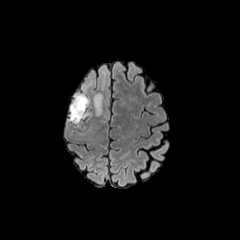
FLAIR MR.
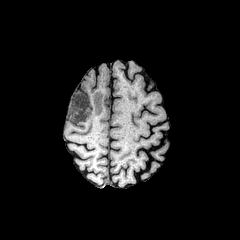
T1-weighted MR.
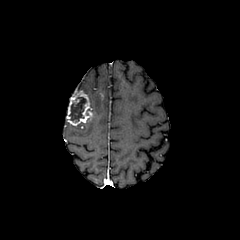
Post-contrast T1-weighted MR.
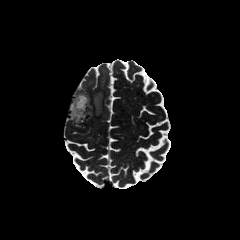
T2-weighted MR.
Image size 240x240
The peritumoral edema is at x1=93 y1=69 x2=107 y2=115. The necrotic tumor core is at x1=69 y1=97 x2=86 y2=120. The enhancing tumor lies within x1=66 y1=90 x2=92 y2=125.